Image width 240 mm, 1.00 mm slice spacing | 240x240 px | Brain
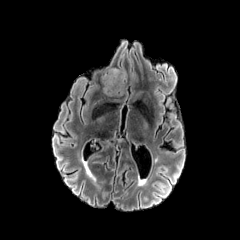
FLAIR magnetic resonance.
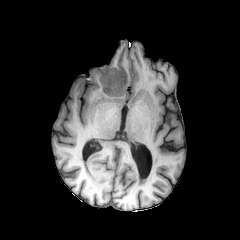
T1-weighted MRI.
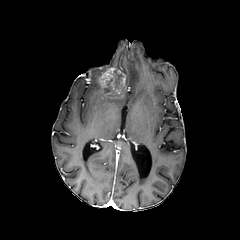
Same slice, post-contrast T1-weighted MR.
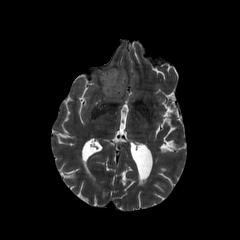
Same slice, T2-weighted MR.
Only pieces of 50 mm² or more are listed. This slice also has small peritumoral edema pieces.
enhancing tumor: bounding box <bbox>99, 67, 126, 94</bbox>
necrotic tumor core: bounding box <bbox>114, 70, 121, 87</bbox>